FLAIR MR.
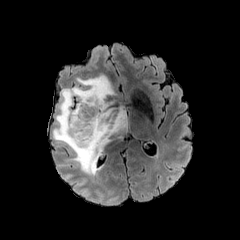
T1-weighted magnetic resonance.
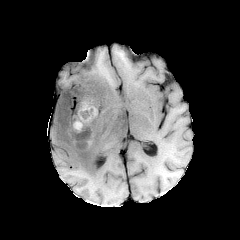
Post-contrast T1-weighted MR image.
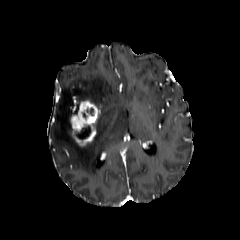
T2-weighted MRI.
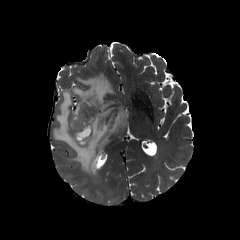
240x240 px
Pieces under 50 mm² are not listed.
peritumoral edema: bounding box {"x1": 52, "y1": 74, "x2": 127, "y2": 176}
enhancing tumor: bounding box {"x1": 70, "y1": 100, "x2": 100, "y2": 147}
necrotic tumor core: bounding box {"x1": 75, "y1": 126, "x2": 90, "y2": 139}